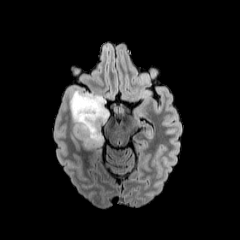
FLAIR MR.
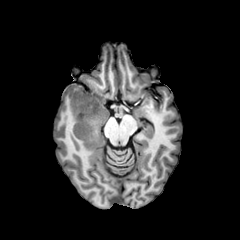
T1-weighted MR image.
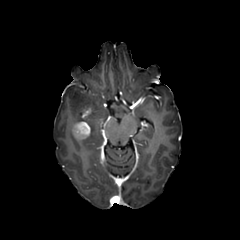
Post-contrast T1-weighted magnetic resonance.
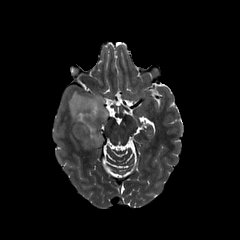
T2-weighted MR image.
Axial view
2 enhancing tumor regions are located at [x1=72, y1=121, x2=90, y2=139], [x1=81, y1=107, x2=91, y2=118]. The peritumoral edema appears at [x1=69, y1=89, x2=108, y2=149].